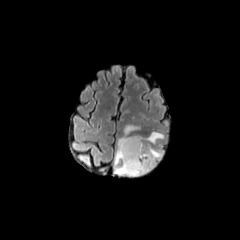
FLAIR MR.
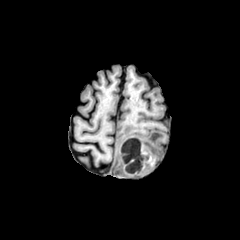
T1-weighted MR image.
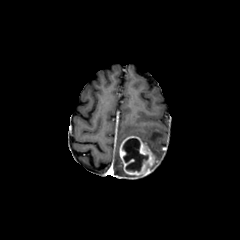
Post-contrast T1-weighted MR.
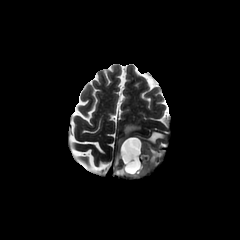
T2-weighted MR image.
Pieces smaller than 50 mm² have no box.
The necrotic tumor core is located at l=122, t=138, r=148, b=171. The 2 largest peritumoral edema regions are bounded by l=114, t=124, r=164, b=176; l=146, t=143, r=163, b=160. The enhancing tumor appears at l=119, t=136, r=156, b=176.